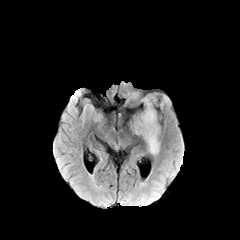
FLAIR MR image.
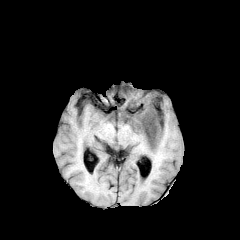
T1-weighted MR image.
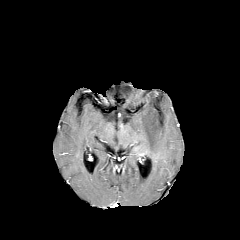
Post-contrast T1-weighted MRI of the same slice.
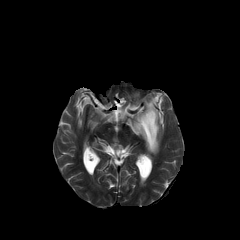
T2-weighted MR image of the same slice.
{"peritumoral_edema": ["bbox=[133, 99, 159, 154]"]}